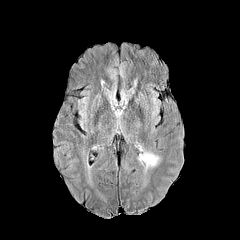
FLAIR MRI.
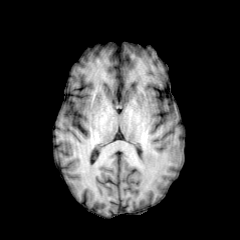
T1-weighted MR image of the same slice.
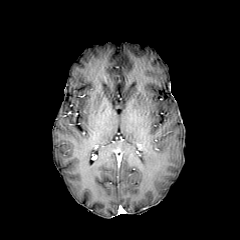
Post-contrast T1-weighted MR image.
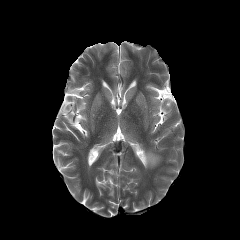
T2-weighted MR.
Axial plane, Head
peritumoral_edema:
  - [140, 153, 158, 165]